Axial slice, Image size 240x240
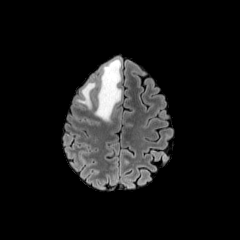
FLAIR MRI.
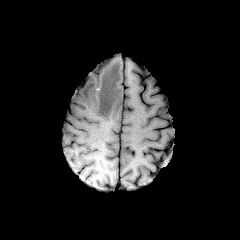
T1-weighted MRI.
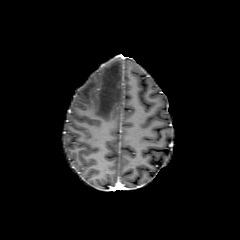
Post-contrast T1-weighted MR image.
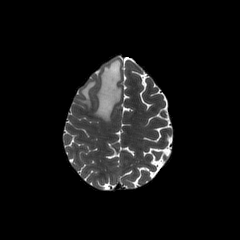
T2-weighted MR of the same slice.
Annotated regions:
• peritumoral edema: box(94, 58, 121, 121); box(76, 81, 96, 109)